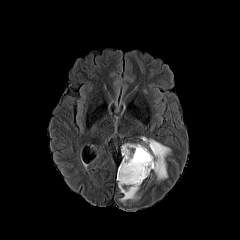
FLAIR magnetic resonance.
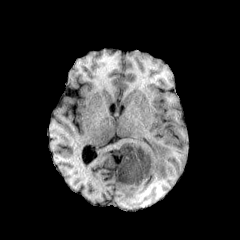
Same slice, T1-weighted magnetic resonance.
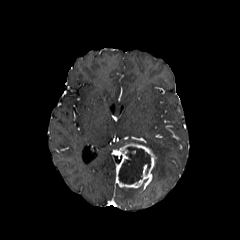
Same slice, post-contrast T1-weighted MR.
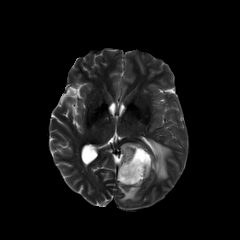
T2-weighted MR image.
Brain; Axial plane; 240x240
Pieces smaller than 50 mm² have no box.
necrotic tumor core at {"x1": 118, "y1": 147, "x2": 150, "y2": 184}
enhancing tumor at {"x1": 116, "y1": 143, "x2": 156, "y2": 188}
peritumoral edema at {"x1": 143, "y1": 137, "x2": 170, "y2": 180}, {"x1": 119, "y1": 187, "x2": 139, "y2": 202}